FLAIR magnetic resonance.
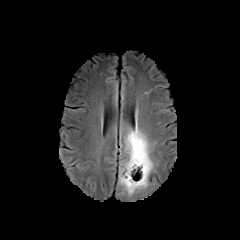
T1-weighted MRI.
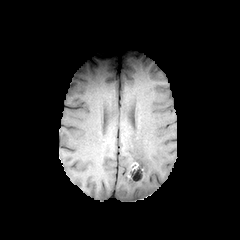
Post-contrast T1-weighted MR.
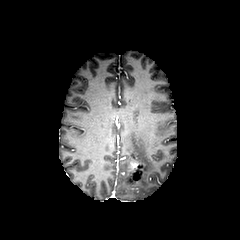
T2-weighted MR.
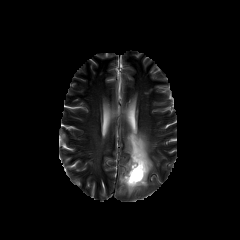
240x240 px | Axial slice | Head
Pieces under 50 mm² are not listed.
peritumoral_edema:
  - (119, 126, 153, 195)
necrotic_tumor_core:
  - (133, 169, 142, 180)
enhancing_tumor:
  - (128, 162, 144, 182)